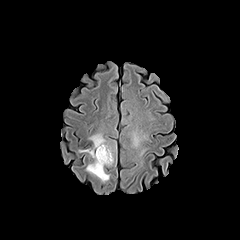
FLAIR MR.
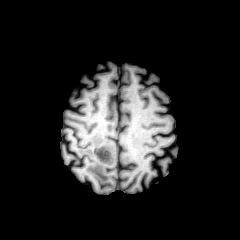
T1-weighted magnetic resonance.
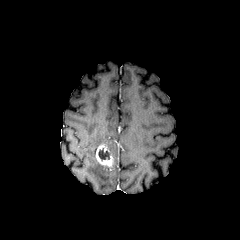
Post-contrast T1-weighted MR of the same slice.
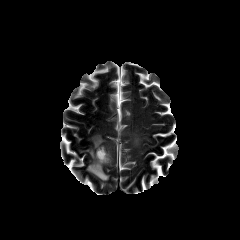
Same slice, T2-weighted MRI.
Brain
necrotic tumor core: [98, 148, 109, 160] | enhancing tumor: [96, 144, 113, 166] | peritumoral edema: [80, 134, 113, 181]